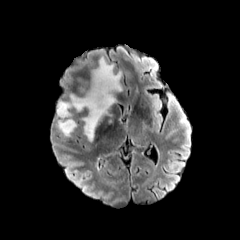
FLAIR MRI.
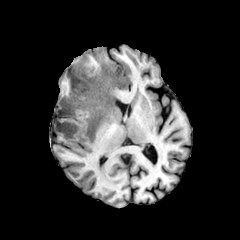
T1-weighted magnetic resonance.
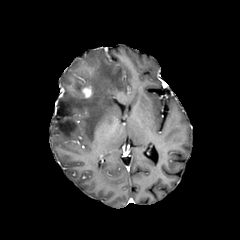
Post-contrast T1-weighted magnetic resonance.
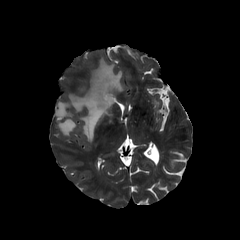
Same slice, T2-weighted MRI.
Image size 240x240 | Axial plane
* peritumoral edema: l=57, t=57, r=122, b=141; l=57, t=119, r=76, b=136
* enhancing tumor: l=80, t=87, r=91, b=97